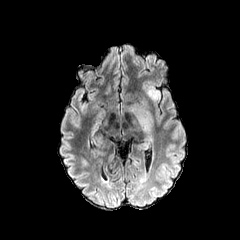
FLAIR MR image.
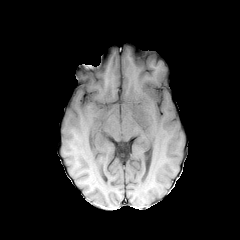
Same slice, T1-weighted MR.
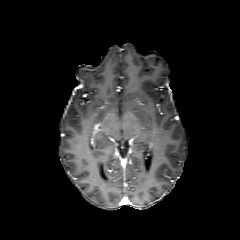
Same slice, post-contrast T1-weighted MR image.
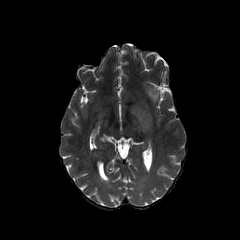
T2-weighted magnetic resonance of the same slice.
240x240.
peritumoral edema at [x1=129, y1=105, x2=153, y2=128], [x1=146, y1=86, x2=160, y2=102]